Axial plane
FLAIR magnetic resonance.
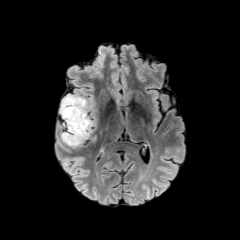
T1-weighted MRI.
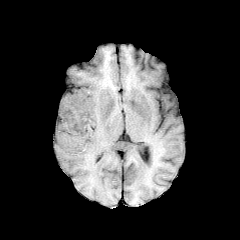
Post-contrast T1-weighted magnetic resonance.
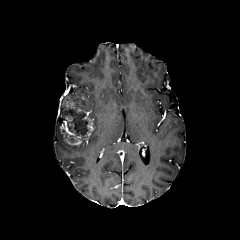
T2-weighted MR image.
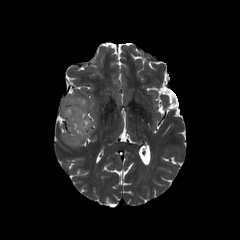
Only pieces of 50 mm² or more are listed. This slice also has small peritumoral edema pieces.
* enhancing tumor: box(60, 96, 94, 145)
* necrotic tumor core: box(64, 108, 88, 138)